FLAIR magnetic resonance.
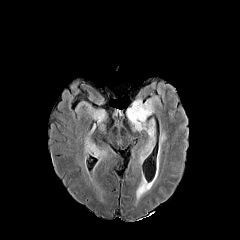
T1-weighted MR.
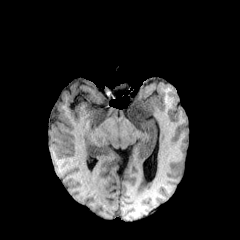
Post-contrast T1-weighted MRI.
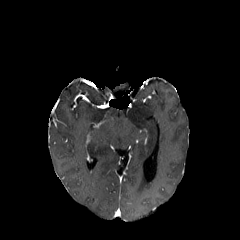
T2-weighted MR.
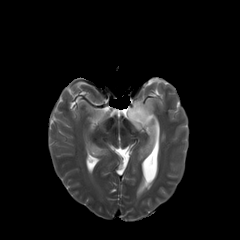
Head.
peritumoral edema: region(85, 109, 107, 156); region(161, 130, 166, 143); region(128, 98, 155, 130); region(139, 120, 154, 160)